FLAIR MR.
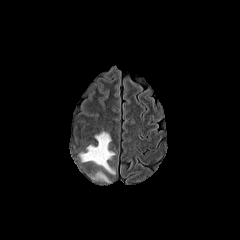
T1-weighted MR.
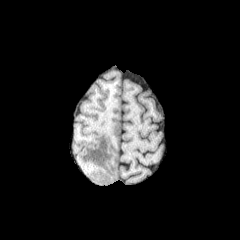
Post-contrast T1-weighted MR.
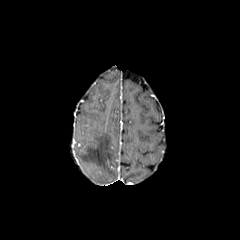
T2-weighted MR.
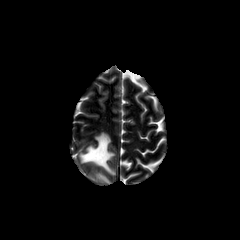
Axial slice
{
  "peritumoral_edema": [
    "box=[79, 132, 115, 174]",
    "box=[92, 172, 109, 182]"
  ]
}